Brain
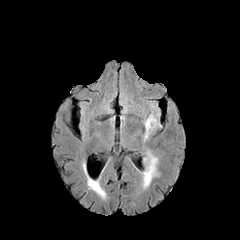
FLAIR MR image.
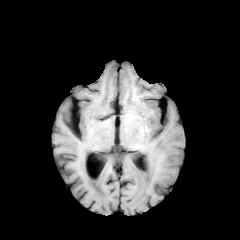
Same slice, T1-weighted MR image.
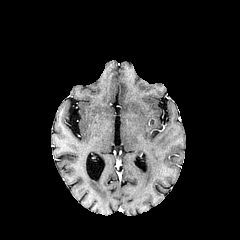
Post-contrast T1-weighted MR of the same slice.
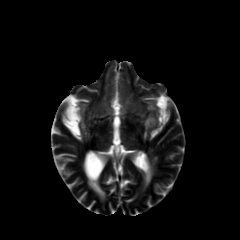
T2-weighted magnetic resonance.
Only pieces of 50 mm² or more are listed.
The 2 largest peritumoral edema regions are bounded by [x1=143, y1=156, x2=157, y2=187], [x1=144, y1=115, x2=155, y2=139].